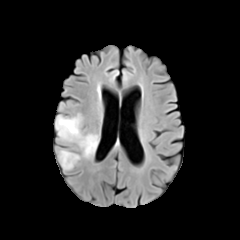
FLAIR MR.
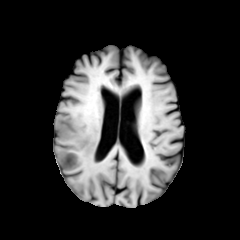
T1-weighted MR image.
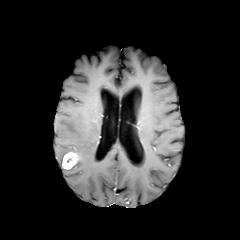
Same slice, post-contrast T1-weighted magnetic resonance.
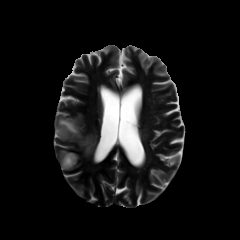
T2-weighted MR.
Head | Image size 240x240
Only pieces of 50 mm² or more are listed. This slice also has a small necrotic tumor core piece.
enhancing tumor at 62 152 78 169
peritumoral edema at 59 150 68 165, 55 115 97 157